Image size 240x240 | Brain
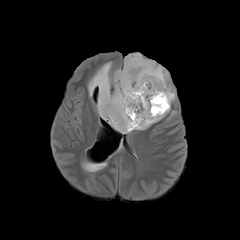
FLAIR magnetic resonance.
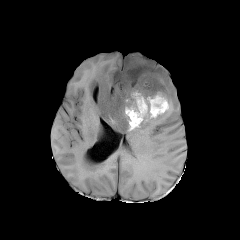
T1-weighted MRI.
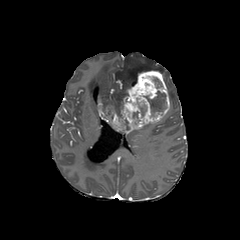
Same slice, post-contrast T1-weighted MRI.
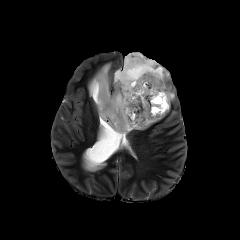
T2-weighted magnetic resonance of the same slice.
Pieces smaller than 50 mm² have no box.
enhancing tumor: (98,70,169,133) | necrotic tumor core: (138,104,146,116), (145,91,166,116) | peritumoral edema: (88,53,175,109)